Brain
FLAIR MR.
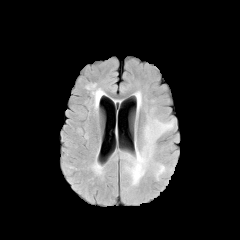
T1-weighted magnetic resonance.
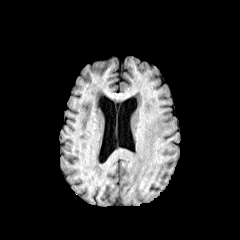
Post-contrast T1-weighted magnetic resonance.
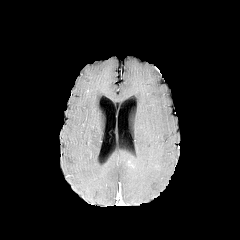
T2-weighted MR.
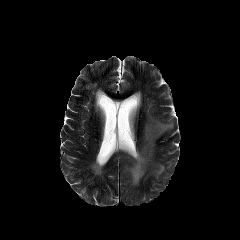
{"peritumoral_edema": ["125, 116, 174, 185", "137, 92, 141, 108"]}